Axial slice, Slice index 109
FLAIR MR image.
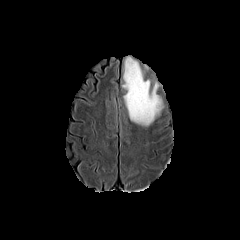
T1-weighted MR.
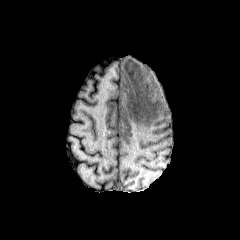
Post-contrast T1-weighted magnetic resonance.
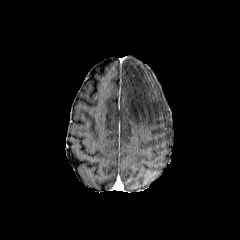
T2-weighted MR.
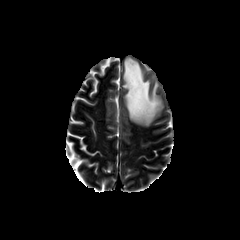
<segmentation>
  <peritumoral_edema>x1=122, y1=57, x2=162, y2=126</peritumoral_edema>
</segmentation>